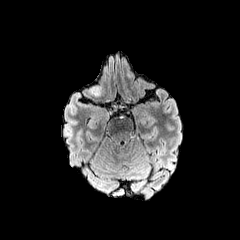
FLAIR MR image.
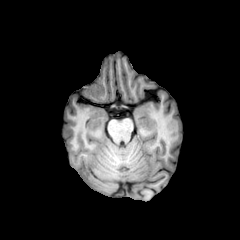
T1-weighted MR image of the same slice.
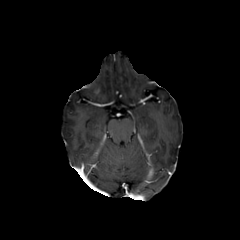
Same slice, post-contrast T1-weighted magnetic resonance.
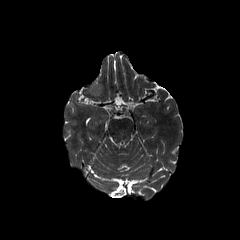
T2-weighted MR.
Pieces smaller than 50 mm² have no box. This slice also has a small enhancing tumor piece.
Annotated regions:
• peritumoral edema: <box>88,85,102,96</box>